Axial plane | Head | Slice 61/155
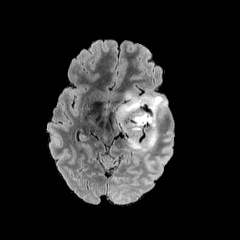
FLAIR MR image.
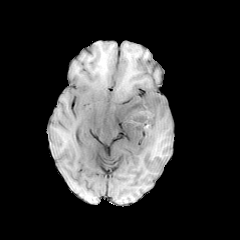
T1-weighted magnetic resonance of the same slice.
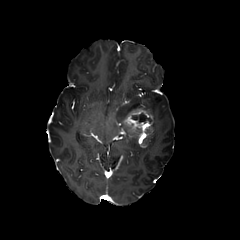
Same slice, post-contrast T1-weighted MR.
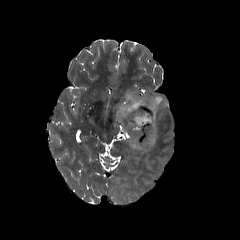
T2-weighted magnetic resonance of the same slice.
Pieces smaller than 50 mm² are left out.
enhancing tumor — l=123, t=108, r=154, b=147
peritumoral edema — l=116, t=92, r=166, b=151; l=126, t=137, r=138, b=150
necrotic tumor core — l=132, t=113, r=152, b=122